FLAIR MR.
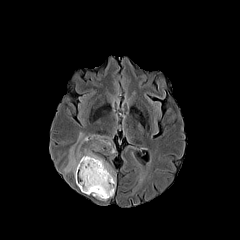
T1-weighted magnetic resonance.
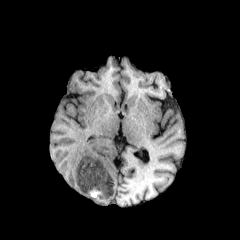
Post-contrast T1-weighted MR.
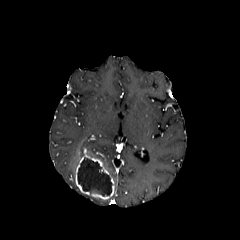
T2-weighted MR.
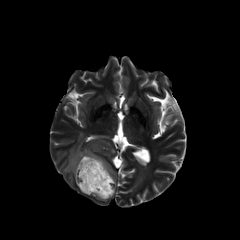
240x240 px | Brain | Axial view
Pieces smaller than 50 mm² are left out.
necrotic_tumor_core:
  - [x1=77, y1=158, x2=111, y2=196]
peritumoral_edema:
  - [x1=87, y1=151, x2=117, y2=185]
  - [x1=63, y1=132, x2=116, y2=174]
enhancing_tumor:
  - [x1=75, y1=148, x2=114, y2=199]